FLAIR MRI.
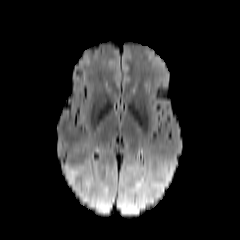
T1-weighted MR.
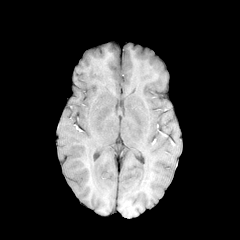
Post-contrast T1-weighted magnetic resonance.
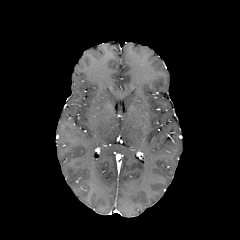
T2-weighted magnetic resonance.
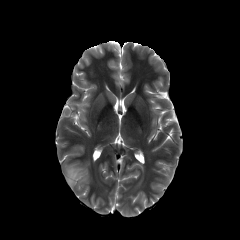
Head
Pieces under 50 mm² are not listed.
peritumoral edema: (65,165,84,188)